FLAIR MR image.
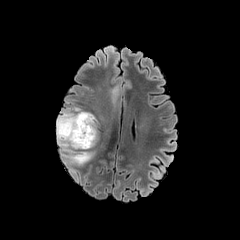
T1-weighted MR image.
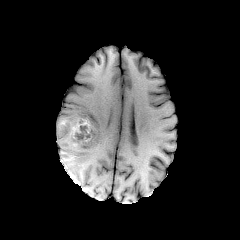
Post-contrast T1-weighted MRI.
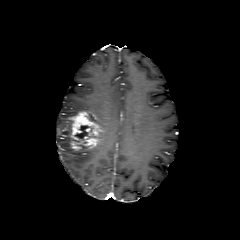
T2-weighted MRI.
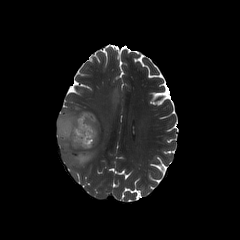
Head; Image size 240x240; Axial slice
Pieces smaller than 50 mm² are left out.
Findings:
• enhancing tumor: {"x1": 69, "y1": 111, "x2": 100, "y2": 149}
• necrotic tumor core: {"x1": 74, "y1": 125, "x2": 88, "y2": 139}
• peritumoral edema: {"x1": 56, "y1": 107, "x2": 94, "y2": 166}